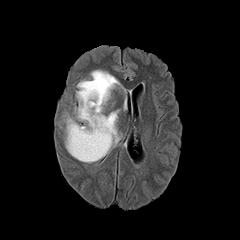
FLAIR MR image.
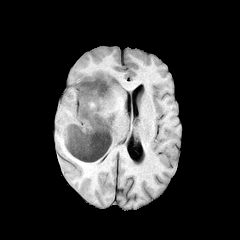
Same slice, T1-weighted MR.
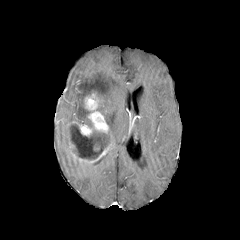
Same slice, post-contrast T1-weighted magnetic resonance.
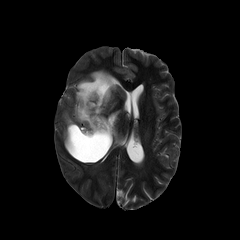
T2-weighted MR image of the same slice.
Brain
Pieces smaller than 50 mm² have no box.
peritumoral edema — (64, 70, 122, 154)
enhancing tumor — (67, 92, 111, 162)
necrotic tumor core — (72, 128, 93, 157)